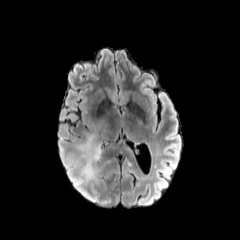
FLAIR magnetic resonance.
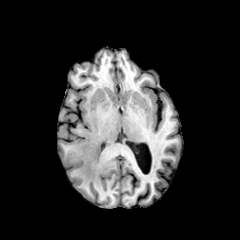
T1-weighted MR image of the same slice.
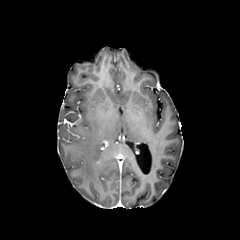
Same slice, post-contrast T1-weighted MR image.
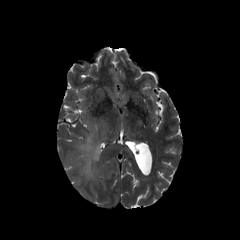
T2-weighted MR.
240x240 px
The peritumoral edema is located at {"x1": 78, "y1": 134, "x2": 101, "y2": 181}.